FLAIR MR image.
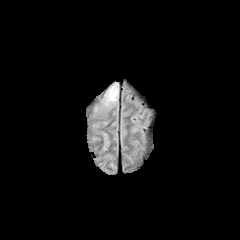
T1-weighted MR.
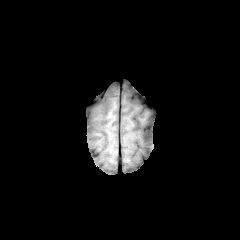
Post-contrast T1-weighted MR image.
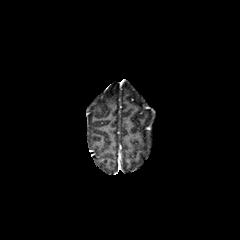
T2-weighted MRI.
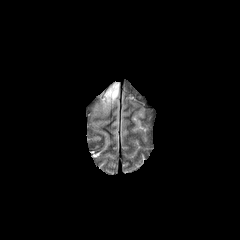
Brain
The peritumoral edema is at (left=102, top=83, right=118, bottom=106).